FLAIR MR image.
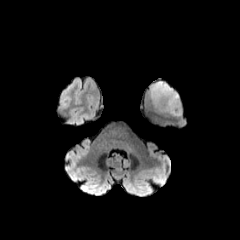
T1-weighted MRI.
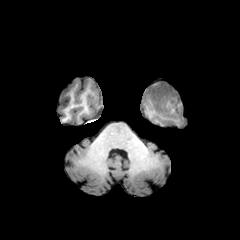
Post-contrast T1-weighted magnetic resonance.
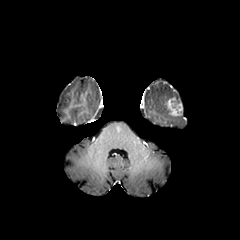
T2-weighted magnetic resonance.
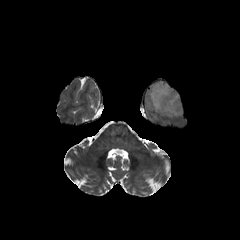
Axial plane. Head.
peritumoral edema at (149, 81, 178, 113)
enhancing tumor at (165, 97, 182, 116)